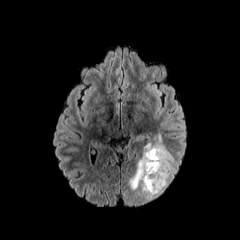
FLAIR MRI.
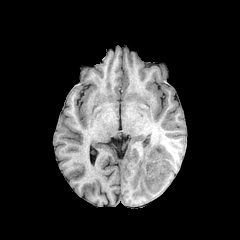
T1-weighted MR image of the same slice.
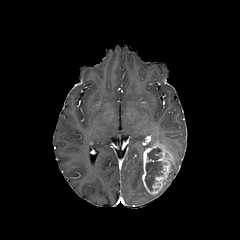
Post-contrast T1-weighted magnetic resonance.
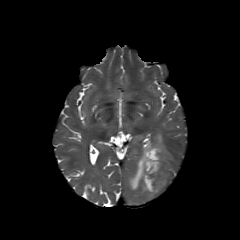
Same slice, T2-weighted MR image.
240x240, Brain
{"enhancing_tumor": ["<bbox>142, 142, 173, 194</bbox>"], "necrotic_tumor_core": ["<bbox>145, 147, 166, 191</bbox>"], "peritumoral_edema": ["<bbox>143, 134, 162, 151</bbox>", "<bbox>129, 153, 164, 199</bbox>", "<bbox>167, 160, 177, 177</bbox>"]}